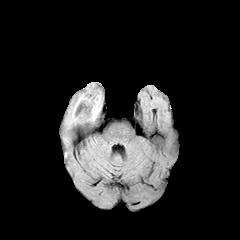
FLAIR MR image.
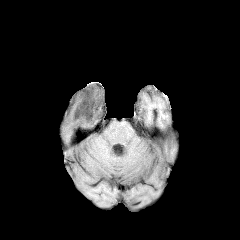
T1-weighted MR.
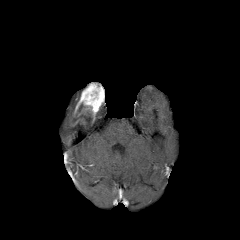
Same slice, post-contrast T1-weighted MRI.
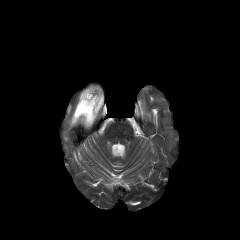
Same slice, T2-weighted magnetic resonance.
Brain.
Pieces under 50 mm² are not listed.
The largest necrotic tumor core region is at bbox=[80, 115, 91, 123]. The largest peritumoral edema region is located at bbox=[66, 93, 80, 128]. The enhancing tumor appears at bbox=[71, 83, 104, 126].